Axial slice. Brain.
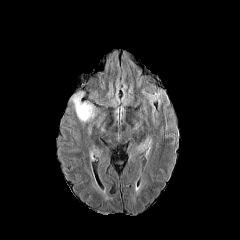
FLAIR MR image.
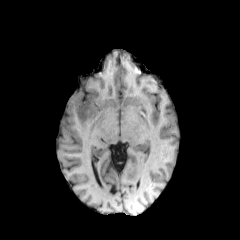
T1-weighted magnetic resonance.
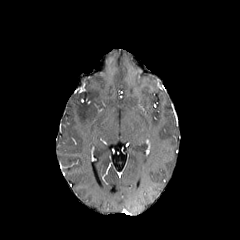
Post-contrast T1-weighted MR image of the same slice.
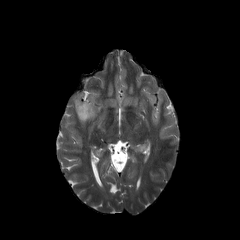
Same slice, T2-weighted MRI.
peritumoral edema at (left=69, top=90, right=101, bottom=129)